FLAIR MR.
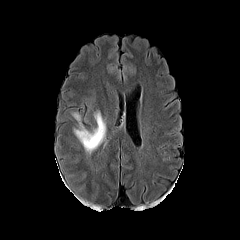
T1-weighted magnetic resonance.
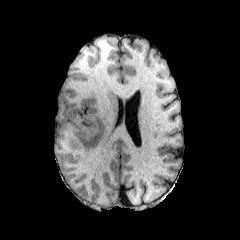
Post-contrast T1-weighted MR.
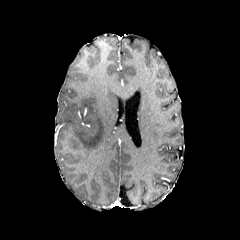
T2-weighted MR.
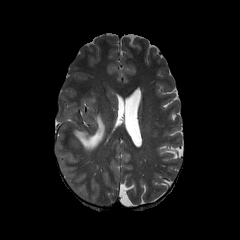
Axial view. 240x240 px.
peritumoral edema: bounding box 72,110,106,155